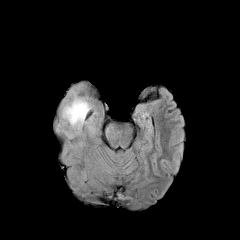
FLAIR MR.
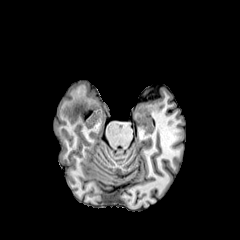
T1-weighted MRI of the same slice.
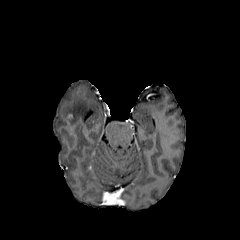
Post-contrast T1-weighted MR image of the same slice.
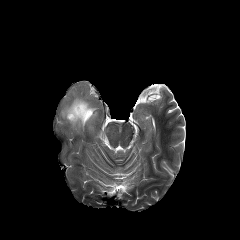
Same slice, T2-weighted MRI.
Head
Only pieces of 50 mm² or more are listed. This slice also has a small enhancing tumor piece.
{
  "peritumoral_edema": [
    "(61, 91, 97, 129)"
  ]
}